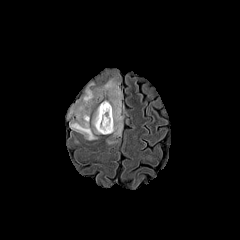
FLAIR MR image.
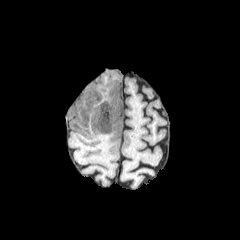
T1-weighted MR image.
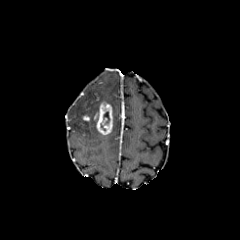
Same slice, post-contrast T1-weighted MR image.
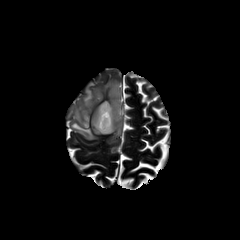
T2-weighted magnetic resonance.
Image size 240x240
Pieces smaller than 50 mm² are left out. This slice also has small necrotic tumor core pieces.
Annotated regions:
- enhancing tumor: l=94, t=102, r=113, b=134
- peritumoral edema: l=66, t=83, r=100, b=140; l=95, t=79, r=122, b=137